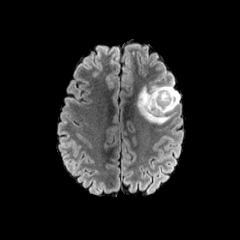
FLAIR MRI.
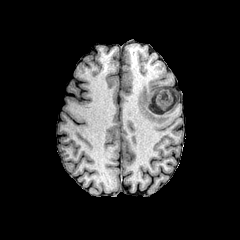
T1-weighted MRI.
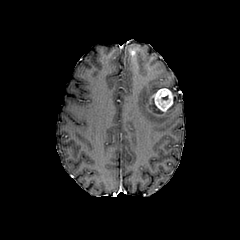
Post-contrast T1-weighted magnetic resonance.
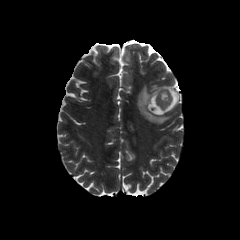
T2-weighted MR image.
Axial slice; 240x240 px
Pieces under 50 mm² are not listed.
The enhancing tumor lies within bbox(145, 88, 177, 116). The largest peritumoral edema region is located at bbox(137, 72, 179, 124). The largest necrotic tumor core region is located at bbox(149, 98, 162, 113).